Image covers 240 mm x 240 mm; Image size 240x240
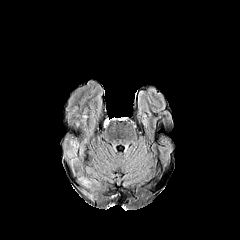
FLAIR magnetic resonance.
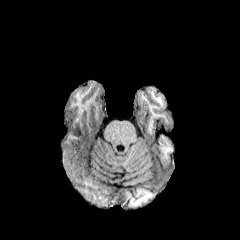
Same slice, T1-weighted MR.
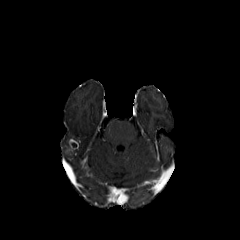
Same slice, post-contrast T1-weighted MR image.
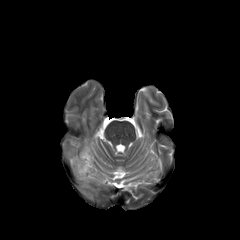
T2-weighted MR image.
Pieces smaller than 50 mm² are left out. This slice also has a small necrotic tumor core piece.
{
  "enhancing_tumor": [
    "<box>66,139,78,152</box>"
  ],
  "peritumoral_edema": [
    "<box>81,177,89,185</box>"
  ]
}